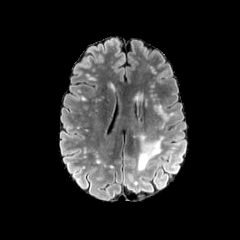
FLAIR MR.
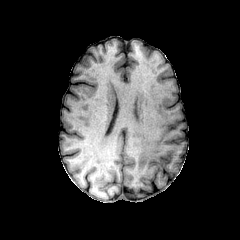
T1-weighted magnetic resonance of the same slice.
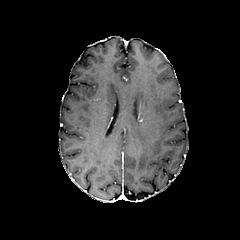
Post-contrast T1-weighted magnetic resonance.
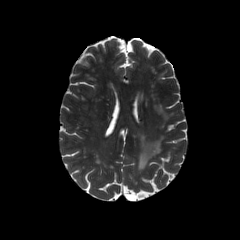
Same slice, T2-weighted magnetic resonance.
240x240 px
peritumoral edema at (left=137, top=136, right=162, bottom=171)